Head | Slice index 105 | Axial plane
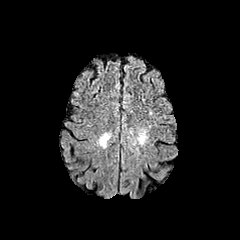
FLAIR MR image.
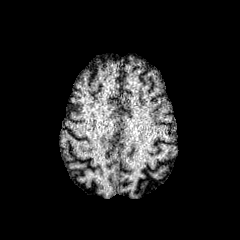
Same slice, T1-weighted MR.
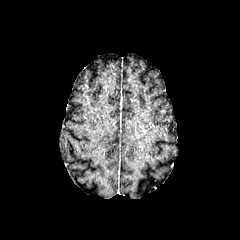
Same slice, post-contrast T1-weighted magnetic resonance.
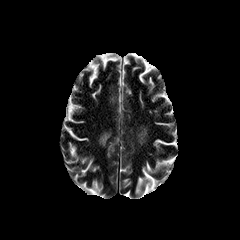
T2-weighted MR image.
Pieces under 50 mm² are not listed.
peritumoral edema = box(98, 132, 111, 147); box(133, 127, 148, 145)